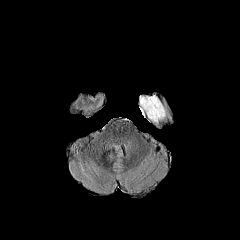
FLAIR magnetic resonance.
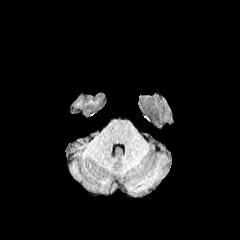
T1-weighted MRI.
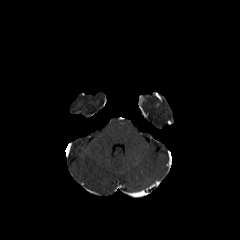
Post-contrast T1-weighted MR.
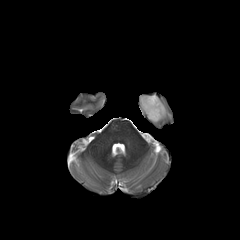
T2-weighted MR image.
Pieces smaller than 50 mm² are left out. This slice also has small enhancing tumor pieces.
peritumoral edema: bounding box (140, 95, 167, 123)